Slice 33 of 155; Brain; Image size 240x240
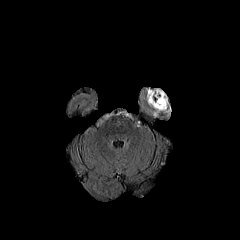
FLAIR MR.
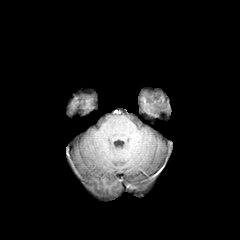
T1-weighted MRI of the same slice.
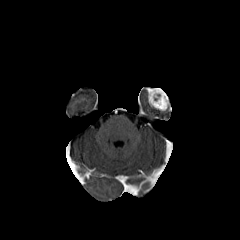
Same slice, post-contrast T1-weighted MRI.
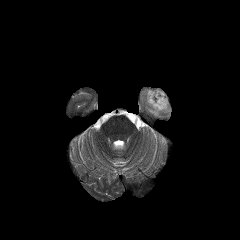
T2-weighted magnetic resonance.
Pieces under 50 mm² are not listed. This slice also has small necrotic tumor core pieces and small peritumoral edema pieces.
enhancing tumor = region(147, 88, 168, 110)